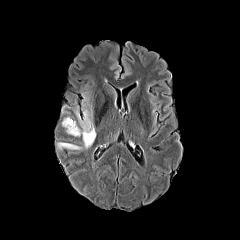
FLAIR MRI.
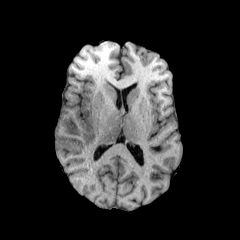
Same slice, T1-weighted MR image.
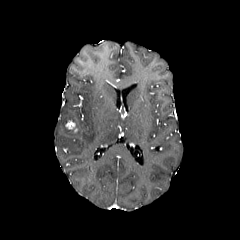
Post-contrast T1-weighted MRI of the same slice.
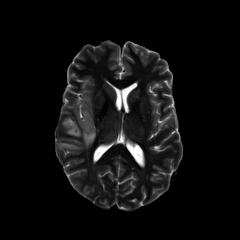
T2-weighted MR of the same slice.
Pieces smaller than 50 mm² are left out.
The enhancing tumor appears at 65, 120, 75, 129. The 2 largest peritumoral edema regions are located at 66, 104, 95, 148; 58, 143, 80, 149.